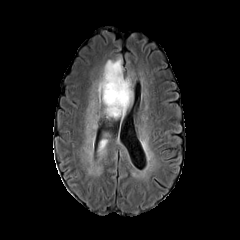
FLAIR MRI.
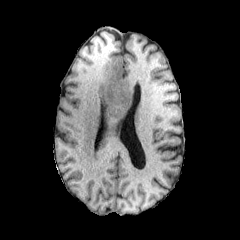
Same slice, T1-weighted MRI.
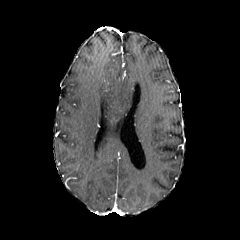
Post-contrast T1-weighted MR.
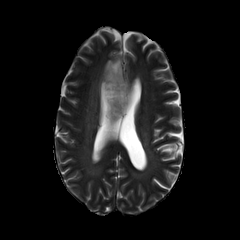
T2-weighted MR image.
Head; Image size 240x240
peritumoral edema at rect(97, 58, 132, 118); rect(99, 139, 107, 152)